Slice 80/155
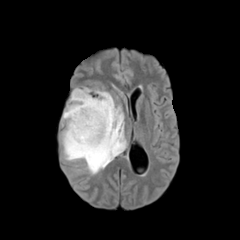
FLAIR magnetic resonance.
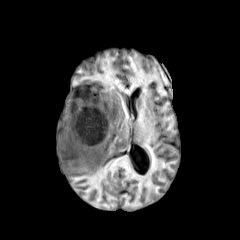
T1-weighted MR.
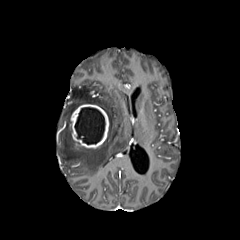
Post-contrast T1-weighted MR of the same slice.
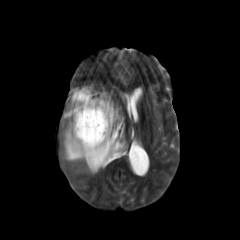
T2-weighted MRI.
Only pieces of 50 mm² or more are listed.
{
  "enhancing_tumor": [
    "x1=71, y1=104, x2=109, y2=148"
  ],
  "necrotic_tumor_core": [
    "x1=74, y1=107, x2=105, y2=144"
  ],
  "peritumoral_edema": [
    "x1=63, y1=87, x2=126, y2=174"
  ]
}